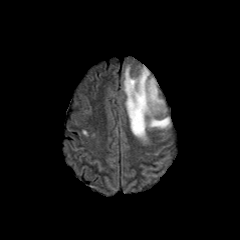
FLAIR magnetic resonance.
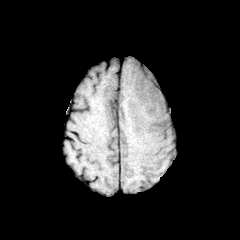
T1-weighted MRI.
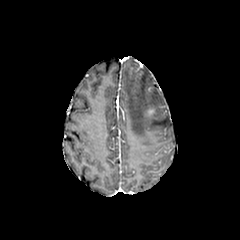
Post-contrast T1-weighted magnetic resonance.
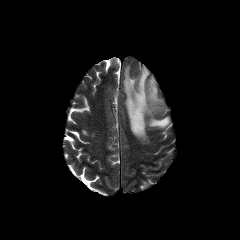
Same slice, T2-weighted MRI.
Head
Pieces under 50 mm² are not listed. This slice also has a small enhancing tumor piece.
<segmentation>
  <peritumoral_edema>rect(124, 66, 169, 140)</peritumoral_edema>
</segmentation>